Axial view; Head; 240x240 px; Slice 62/155
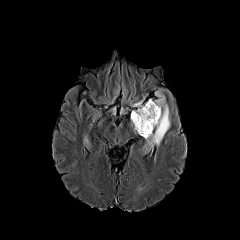
FLAIR MRI.
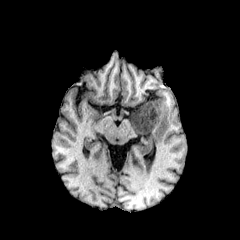
T1-weighted MR image.
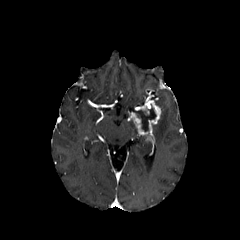
Post-contrast T1-weighted MR.
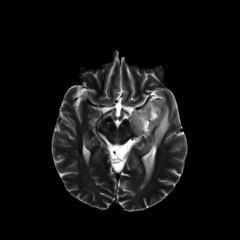
Same slice, T2-weighted magnetic resonance.
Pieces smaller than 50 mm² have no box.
The necrotic tumor core lies within [x1=133, y1=107, x2=156, y2=131]. The largest peritumoral edema region appears at [x1=145, y1=91, x2=170, y2=150]. The largest enhancing tumor region appears at [x1=130, y1=99, x2=161, y2=138].